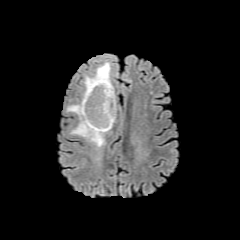
FLAIR MR image.
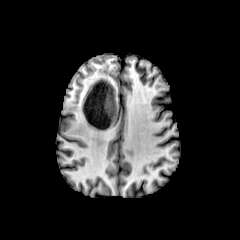
Same slice, T1-weighted MRI.
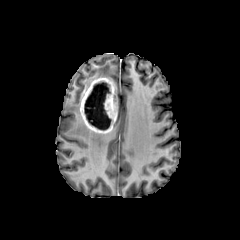
Same slice, post-contrast T1-weighted MRI.
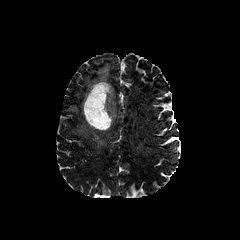
Same slice, T2-weighted magnetic resonance.
240x240. Brain.
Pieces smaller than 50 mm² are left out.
enhancing tumor at region(80, 77, 117, 133)
necrotic tumor core at region(84, 82, 111, 130)
peritumoral edema at region(84, 62, 111, 91); region(67, 102, 105, 148)